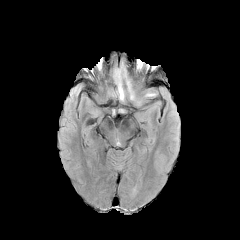
FLAIR magnetic resonance.
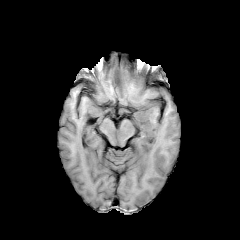
T1-weighted MR image.
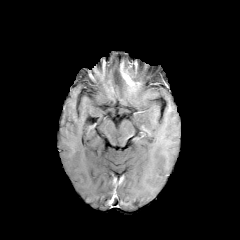
Same slice, post-contrast T1-weighted magnetic resonance.
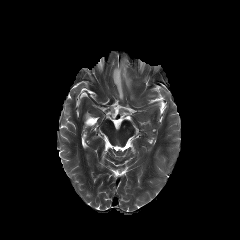
Same slice, T2-weighted magnetic resonance.
240x240 px; Axial view; Head
enhancing tumor — box=[120, 61, 140, 87]
peritumoral edema — box=[113, 67, 124, 100]; box=[127, 85, 156, 105]
necrotic tumor core — box=[127, 65, 133, 76]